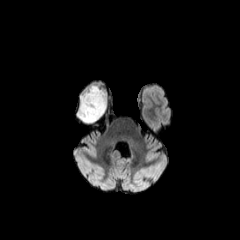
FLAIR MR image.
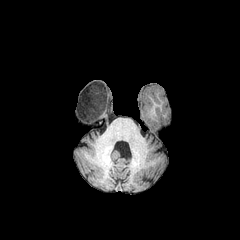
T1-weighted MR of the same slice.
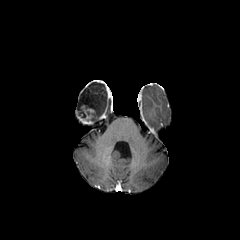
Post-contrast T1-weighted magnetic resonance of the same slice.
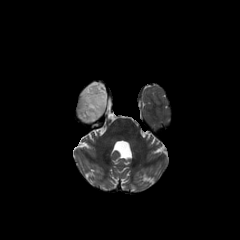
Same slice, T2-weighted MR image.
Axial plane, Image size 240x240, Brain
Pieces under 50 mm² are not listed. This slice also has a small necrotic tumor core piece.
peritumoral_edema:
  - box(79, 83, 107, 119)
enhancing_tumor:
  - box(77, 105, 96, 124)